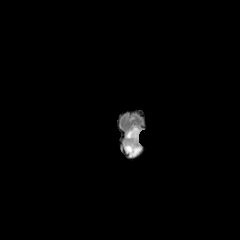
FLAIR MR.
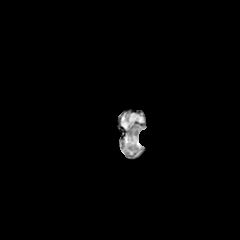
T1-weighted magnetic resonance.
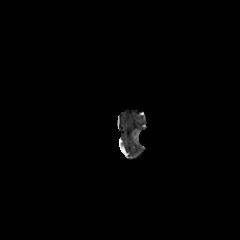
Post-contrast T1-weighted MR image.
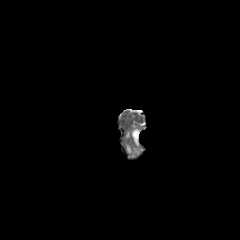
T2-weighted MR.
Axial view | Image size 240x240
enhancing tumor: {"x1": 131, "y1": 129, "x2": 140, "y2": 145}
peritumoral edema: {"x1": 125, "y1": 127, "x2": 141, "y2": 155}